FLAIR MR image.
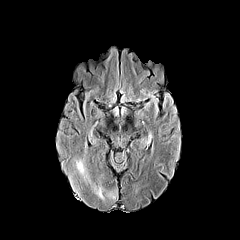
T1-weighted MR image.
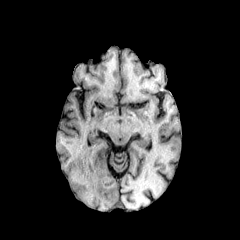
Post-contrast T1-weighted MRI.
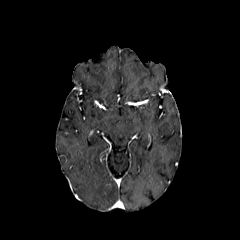
T2-weighted MR.
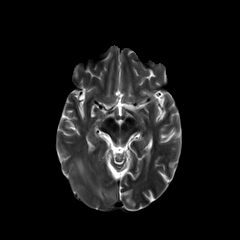
Brain
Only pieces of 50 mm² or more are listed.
peritumoral edema: [75, 159, 90, 182], [94, 186, 104, 199]